FLAIR MRI.
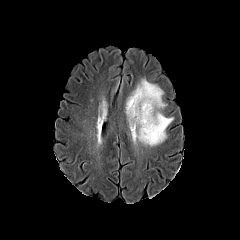
T1-weighted MR.
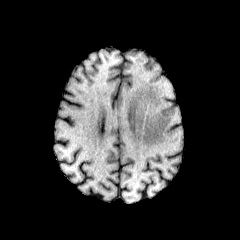
Post-contrast T1-weighted MRI.
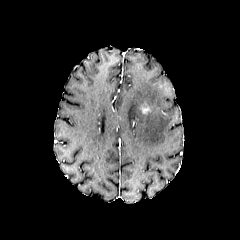
T2-weighted MR.
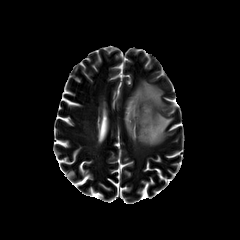
Head. Axial view. 240x240.
The enhancing tumor appears at 141:104:150:113. The peritumoral edema is bounded by 125:79:173:146.